Slice 67/155. Axial view.
FLAIR MRI.
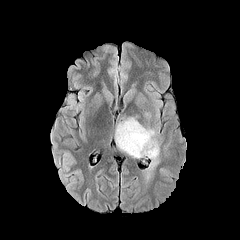
T1-weighted MR image.
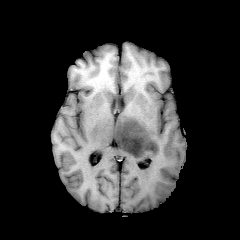
Post-contrast T1-weighted MR.
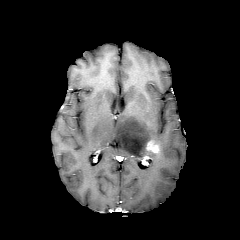
T2-weighted MR image.
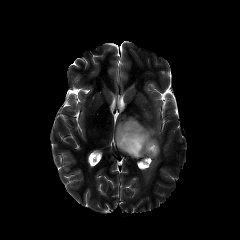
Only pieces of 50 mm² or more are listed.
Segmented structures:
- peritumoral edema: x1=114 y1=117 x2=160 y2=177
- enhancing tumor: x1=145 y1=140 x2=159 y2=153